240x240; Image width 240 mm
FLAIR magnetic resonance.
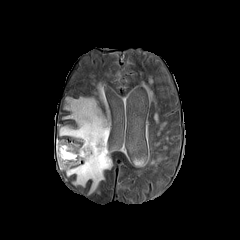
T1-weighted MRI.
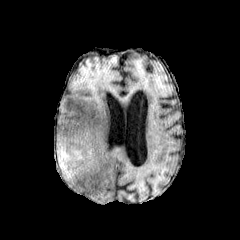
Post-contrast T1-weighted MR.
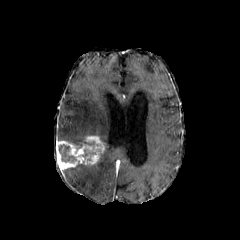
T2-weighted MR image.
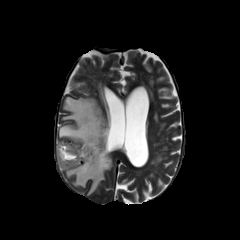
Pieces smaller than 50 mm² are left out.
necrotic tumor core — [59,144,75,161]
peritumoral edema — [100,88,106,104], [59,97,112,193]
enhancing tumor — [56,135,104,173]